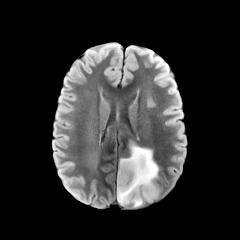
FLAIR magnetic resonance.
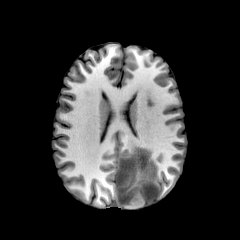
T1-weighted MRI.
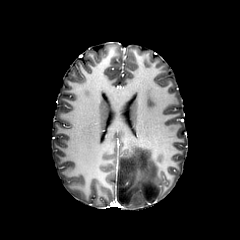
Post-contrast T1-weighted MR.
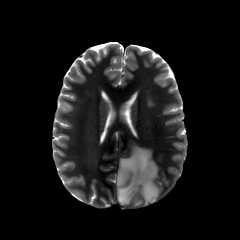
T2-weighted MRI of the same slice.
240x240
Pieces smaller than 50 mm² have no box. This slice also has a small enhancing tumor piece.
<segmentation>
  <necrotic_tumor_core>rect(121, 170, 132, 186)</necrotic_tumor_core>
  <peritumoral_edema>rect(117, 145, 159, 207)</peritumoral_edema>
</segmentation>